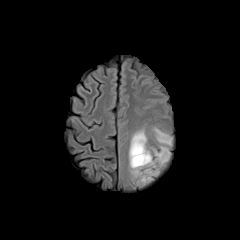
FLAIR MRI.
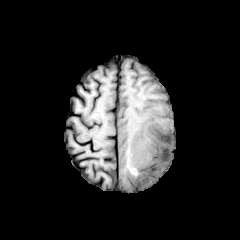
Same slice, T1-weighted magnetic resonance.
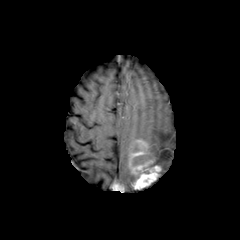
Post-contrast T1-weighted magnetic resonance.
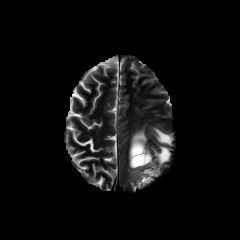
T2-weighted MR image of the same slice.
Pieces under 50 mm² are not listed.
peritumoral edema = <box>128,127,172,180</box>
enhancing tumor = <box>130,140,160,189</box>
necrotic tumor core = <box>132,154,150,164</box>